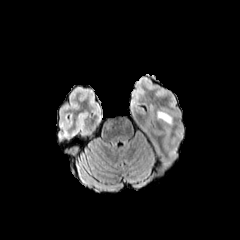
FLAIR magnetic resonance.
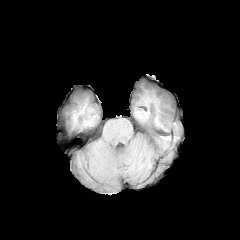
T1-weighted MR image of the same slice.
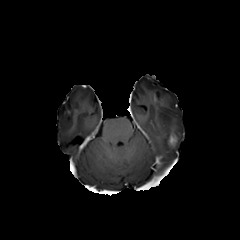
Same slice, post-contrast T1-weighted MR image.
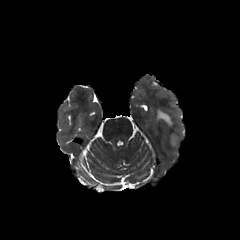
T2-weighted MR image.
Head, Image size 240x240
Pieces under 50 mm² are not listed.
enhancing tumor: 167:133:177:146 | peritumoral edema: 157:111:171:124